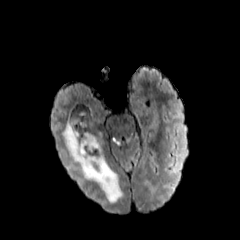
FLAIR magnetic resonance.
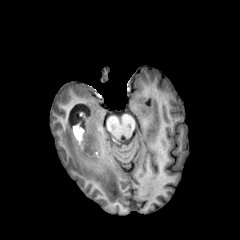
T1-weighted MR image of the same slice.
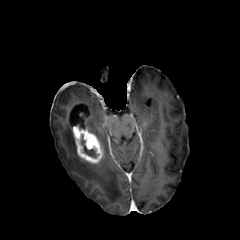
Post-contrast T1-weighted MR.
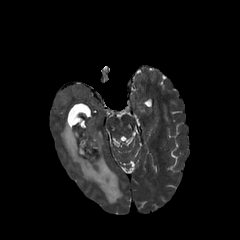
T2-weighted MR.
Image size 240x240. Axial plane.
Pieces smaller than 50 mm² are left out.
<segmentation>
  <enhancing_tumor>rect(72, 118, 103, 163)</enhancing_tumor>
  <peritumoral_edema>rect(62, 121, 123, 203)</peritumoral_edema>
  <necrotic_tumor_core>rect(81, 135, 95, 156)</necrotic_tumor_core>
</segmentation>